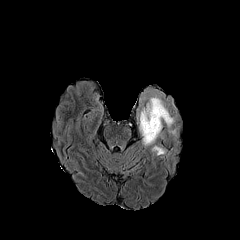
FLAIR magnetic resonance.
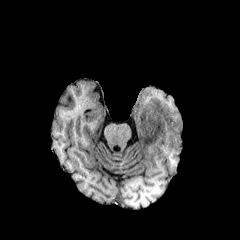
Same slice, T1-weighted magnetic resonance.
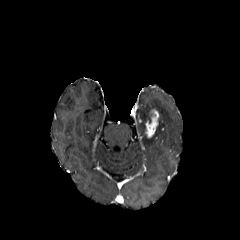
Post-contrast T1-weighted MRI.
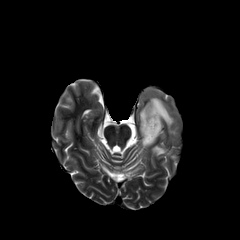
T2-weighted magnetic resonance.
Axial slice. Head.
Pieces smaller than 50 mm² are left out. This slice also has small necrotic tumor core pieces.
The enhancing tumor is at [145,109,159,138]. 2 peritumoral edema regions appear at [137,89,176,146], [152,146,165,155].